FLAIR MR.
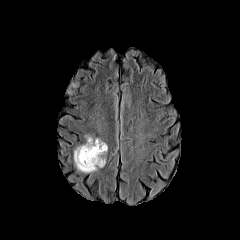
T1-weighted MR.
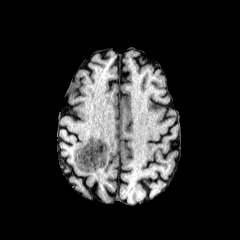
Post-contrast T1-weighted MRI.
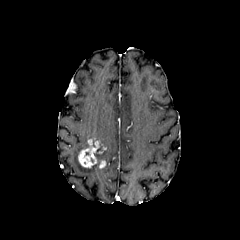
T2-weighted MR.
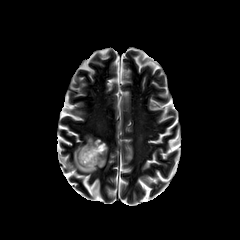
Axial slice. Brain.
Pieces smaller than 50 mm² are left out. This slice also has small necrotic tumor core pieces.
{
  "peritumoral_edema": [
    "96 138 107 165",
    "74 143 98 173"
  ],
  "enhancing_tumor": [
    "78 139 106 167"
  ]
}